Axial view, Head, Image size 240x240
FLAIR magnetic resonance.
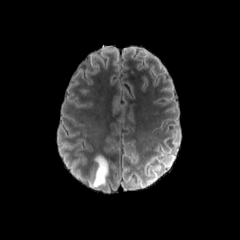
T1-weighted MR.
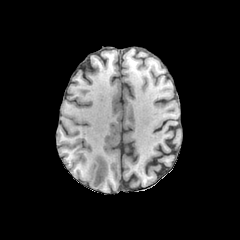
Post-contrast T1-weighted MRI.
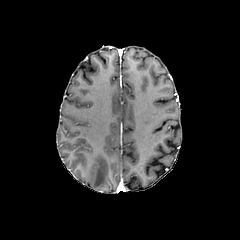
T2-weighted MR.
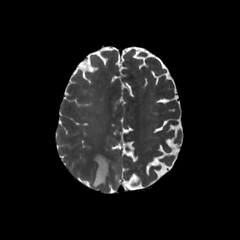
The peritumoral edema is located at [92, 156, 108, 186].